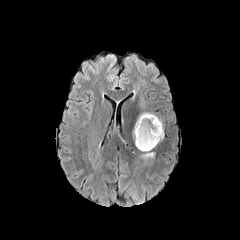
FLAIR MR.
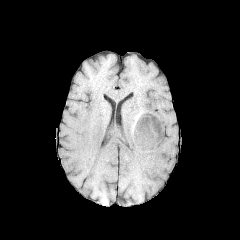
T1-weighted magnetic resonance.
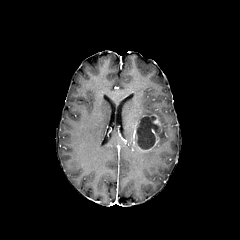
Post-contrast T1-weighted magnetic resonance.
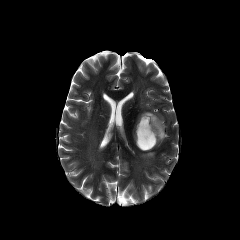
Same slice, T2-weighted MRI.
Brain
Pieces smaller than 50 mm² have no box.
The necrotic tumor core is bounded by bbox=[136, 116, 160, 149]. The 2 largest enhancing tumor regions are located at bbox=[153, 115, 161, 132]; bbox=[133, 121, 160, 151]. The 3 largest peritumoral edema regions are bounded by bbox=[141, 151, 154, 158]; bbox=[160, 120, 164, 140]; bbox=[136, 112, 154, 123].